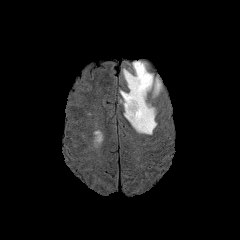
FLAIR MRI.
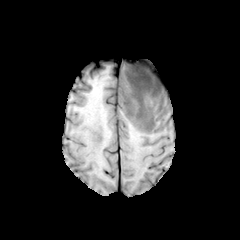
Same slice, T1-weighted MRI.
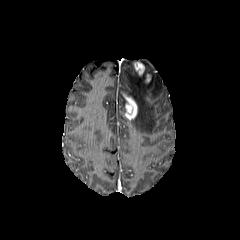
Same slice, post-contrast T1-weighted MR image.
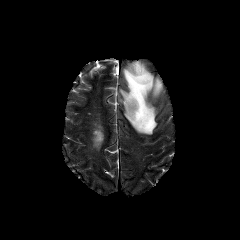
T2-weighted MR image.
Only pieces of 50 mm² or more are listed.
The 2 largest enhancing tumor regions are located at x1=124, y1=95, x2=137, y2=119; x1=134, y1=62, x2=144, y2=75. The largest peritumoral edema region lies within x1=120, y1=62, x2=162, y2=134.